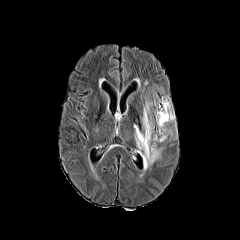
FLAIR MR image.
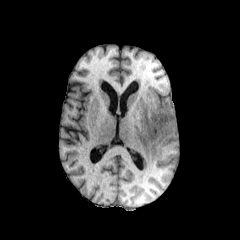
Same slice, T1-weighted MR.
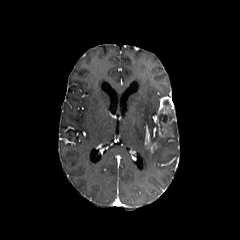
Post-contrast T1-weighted MR.
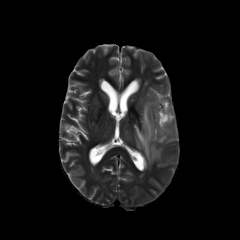
Same slice, T2-weighted MRI.
Axial plane
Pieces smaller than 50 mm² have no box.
{"necrotic_tumor_core": ["<box>158,110,173,133</box>"], "enhancing_tumor": ["<box>144,125,156,152</box>", "<box>153,96,176,137</box>"], "peritumoral_edema": ["<box>134,124,161,167</box>", "<box>142,95,167,142</box>", "<box>168,121,176,137</box>"]}